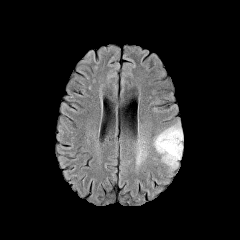
FLAIR MRI.
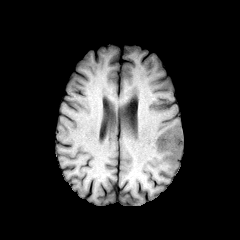
T1-weighted MR image.
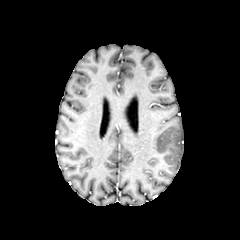
Post-contrast T1-weighted magnetic resonance.
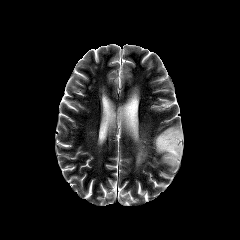
Same slice, T2-weighted MRI.
Head, Axial view
<segmentation>
  <peritumoral_edema>(x1=135, y1=147, x2=145, y2=175), (x1=154, y1=124, x2=183, y2=168)</peritumoral_edema>
</segmentation>